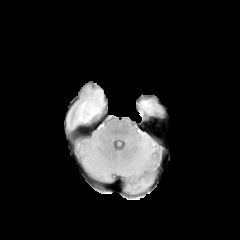
FLAIR MRI.
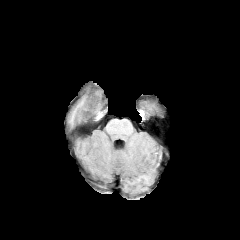
T1-weighted MR image of the same slice.
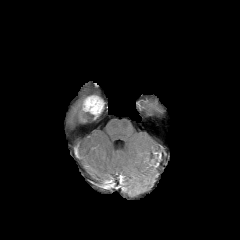
Post-contrast T1-weighted MR.
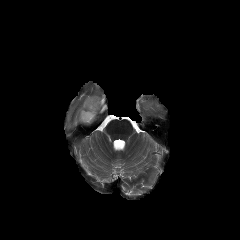
T2-weighted MR image.
Axial slice
The necrotic tumor core is at <box>84,112,94,122</box>. The peritumoral edema is located at <box>66,87,102,128</box>. The enhancing tumor lies within <box>79,94,106,122</box>.